Brain
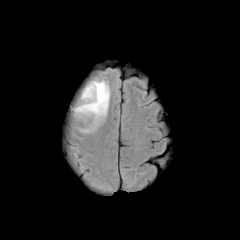
FLAIR magnetic resonance.
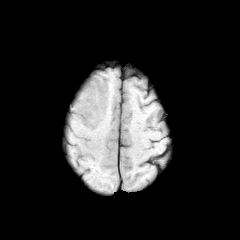
T1-weighted MRI of the same slice.
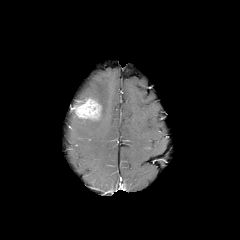
Same slice, post-contrast T1-weighted MR image.
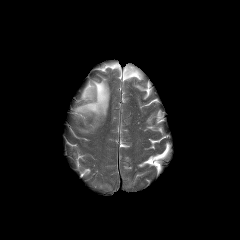
T2-weighted MR image.
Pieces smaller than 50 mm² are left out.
The enhancing tumor is at [x1=75, y1=99, x2=101, y2=118]. The largest peritumoral edema region is located at [x1=76, y1=80, x2=110, y2=132].